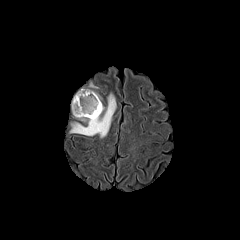
FLAIR MRI.
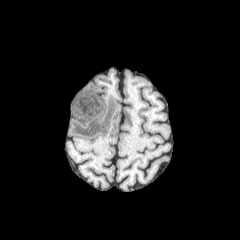
T1-weighted MRI.
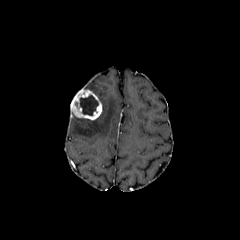
Same slice, post-contrast T1-weighted MR.
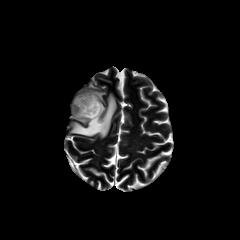
Same slice, T2-weighted MR.
Axial view | Head
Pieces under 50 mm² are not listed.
necrotic tumor core — (x1=80, y1=95, x2=98, y2=115)
enhancing tumor — (x1=70, y1=89, x2=102, y2=120)
peritumoral edema — (x1=70, y1=93, x2=116, y2=138), (x1=88, y1=83, x2=101, y2=102)